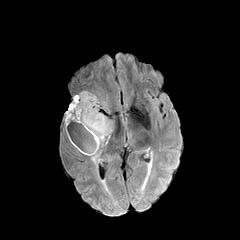
FLAIR MRI.
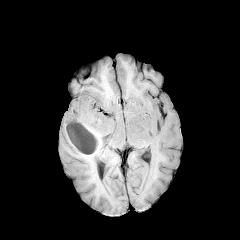
Same slice, T1-weighted MRI.
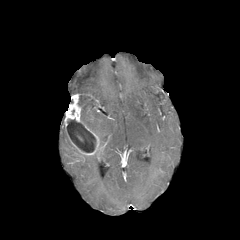
Post-contrast T1-weighted MR image.
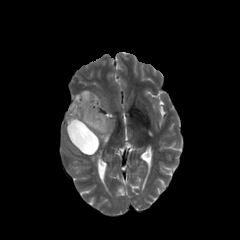
Same slice, T2-weighted MRI.
Head; Axial slice
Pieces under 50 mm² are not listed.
necrotic_tumor_core:
  - 67 120 96 152
peritumoral_edema:
  - 80 91 107 108
  - 79 96 113 144
  - 90 150 98 163
enhancing_tumor:
  - 64 94 99 155